FLAIR MRI.
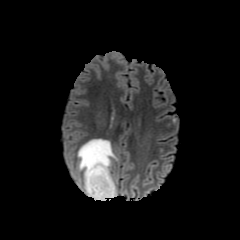
T1-weighted MR.
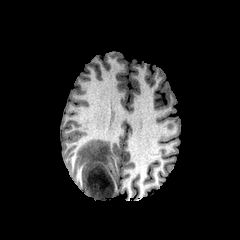
Post-contrast T1-weighted magnetic resonance.
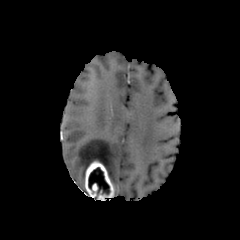
T2-weighted MR.
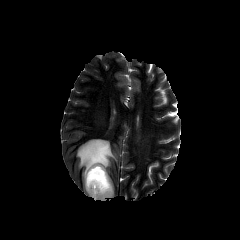
Head, Axial slice, 240x240 px
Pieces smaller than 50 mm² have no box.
peritumoral edema: box=[77, 139, 117, 196]
enhancing tumor: box=[85, 160, 114, 200]
necrotic tumor core: box=[88, 167, 109, 194]